FLAIR MR.
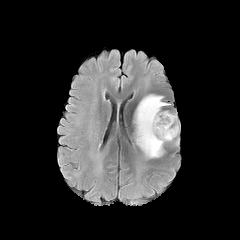
T1-weighted magnetic resonance.
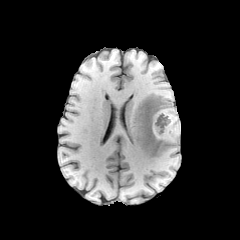
Post-contrast T1-weighted magnetic resonance.
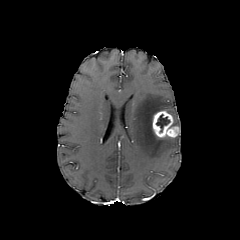
T2-weighted MR image.
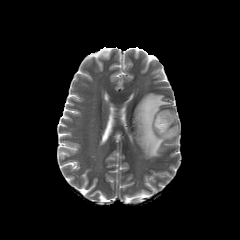
Axial plane, Head
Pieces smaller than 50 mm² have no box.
{
  "peritumoral_edema": [
    "box(134, 94, 173, 158)"
  ],
  "necrotic_tumor_core": [
    "box(156, 114, 170, 132)"
  ],
  "enhancing_tumor": [
    "box(152, 111, 179, 137)"
  ]
}